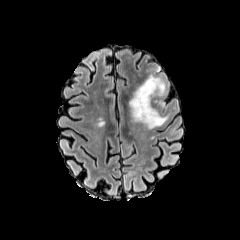
FLAIR MR image.
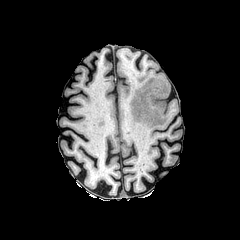
T1-weighted MR image.
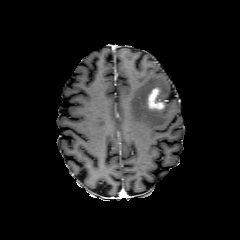
Post-contrast T1-weighted MR image.
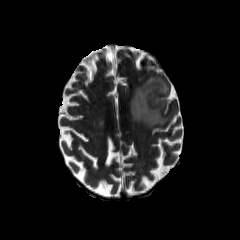
T2-weighted magnetic resonance.
Axial plane; Head
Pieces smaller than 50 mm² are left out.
Annotated regions:
• peritumoral edema: [129, 75, 167, 128]
• enhancing tumor: [147, 88, 165, 110]